Axial view | Brain | Slice index 130
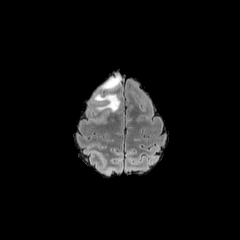
FLAIR MRI.
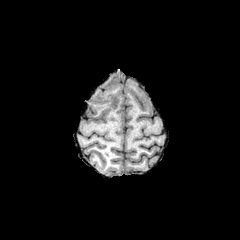
T1-weighted MR image of the same slice.
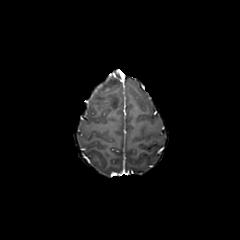
Post-contrast T1-weighted MRI.
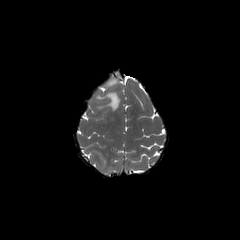
T2-weighted MRI.
peritumoral edema: bbox=[102, 75, 120, 89]; bbox=[93, 93, 120, 111]